FLAIR MRI.
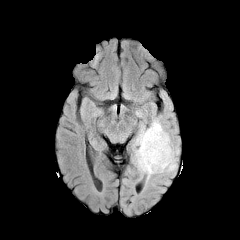
T1-weighted MR image.
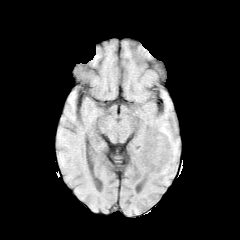
Post-contrast T1-weighted MR.
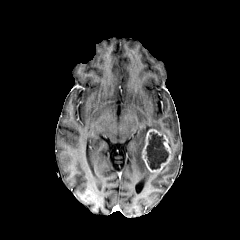
T2-weighted MR image.
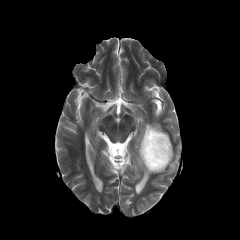
Brain
enhancing tumor: bounding box <box>142,129,172,172</box>
necrotic tumor core: bounding box <box>146,132,168,169</box>
peritumoral edema: bounding box <box>135,119,178,176</box>